FLAIR magnetic resonance.
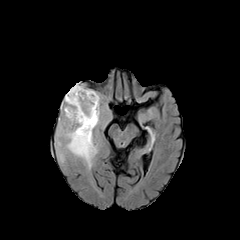
T1-weighted magnetic resonance.
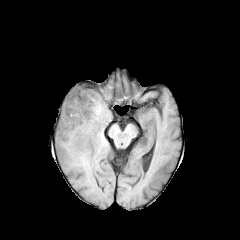
Post-contrast T1-weighted magnetic resonance.
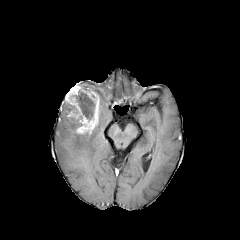
T2-weighted MRI.
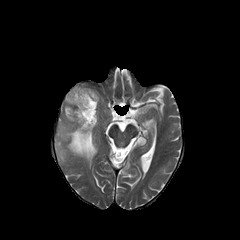
Axial plane, Head
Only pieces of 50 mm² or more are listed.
Segmented structures:
• peritumoral edema: <box>57,141,65,162</box>, <box>58,104,97,166</box>
• enhancing tumor: <box>65,83,99,135</box>
• necrotic tumor core: <box>74,91,95,120</box>